Brain; Slice 55 of 155
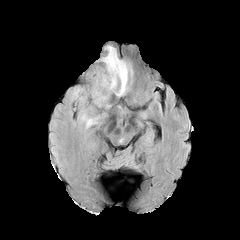
FLAIR magnetic resonance.
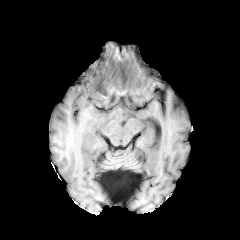
Same slice, T1-weighted MR.
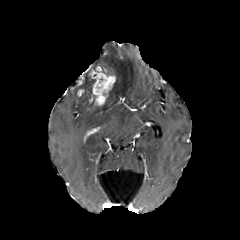
Post-contrast T1-weighted MRI.
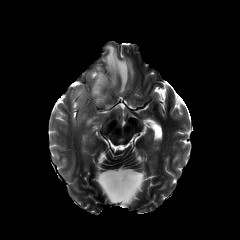
Same slice, T2-weighted MR.
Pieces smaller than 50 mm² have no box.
2 enhancing tumor regions are bounded by region(88, 66, 116, 106); region(77, 89, 84, 97). The 3 largest peritumoral edema regions are located at region(71, 88, 89, 102); region(102, 46, 133, 95); region(80, 113, 98, 127).